Slice index 87
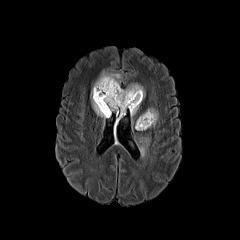
FLAIR MRI.
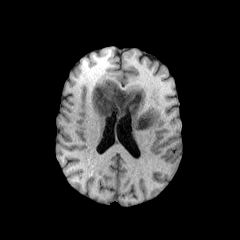
T1-weighted MR image.
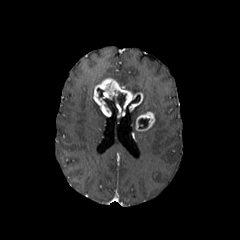
Post-contrast T1-weighted magnetic resonance.
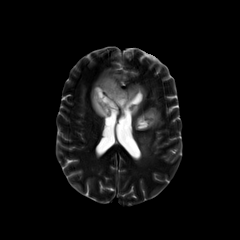
T2-weighted MR image.
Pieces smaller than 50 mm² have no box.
Annotated regions:
- enhancing tumor: 135,111,155,130; 93,78,143,117
- necrotic tumor core: 103,96,118,115; 116,92,125,110; 138,118,149,128; 125,95,140,112
- peritumoral edema: 91,71,121,122; 124,83,145,96; 146,107,158,126; 130,105,139,117; 139,136,150,155